FLAIR MRI.
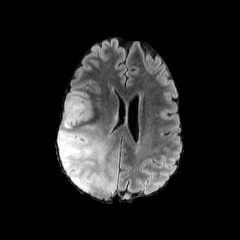
T1-weighted MRI.
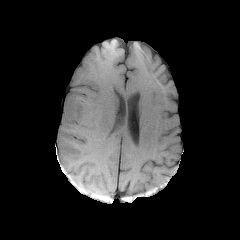
Post-contrast T1-weighted magnetic resonance.
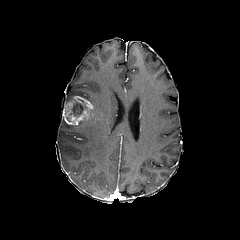
T2-weighted magnetic resonance.
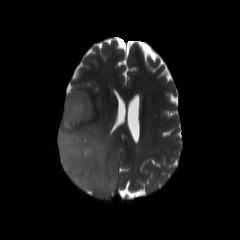
Brain | 240x240 px
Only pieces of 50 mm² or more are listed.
The largest necrotic tumor core region is located at 71 100 87 115. The enhancing tumor appears at 63 96 93 125. 2 peritumoral edema regions are located at 65 92 91 104, 58 108 117 194.